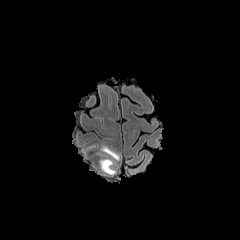
FLAIR MRI.
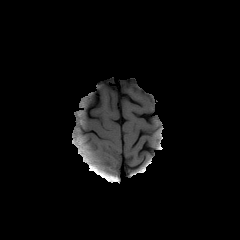
T1-weighted MR image.
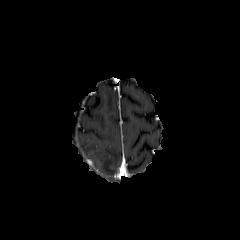
Same slice, post-contrast T1-weighted magnetic resonance.
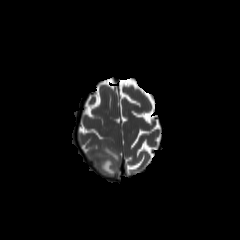
T2-weighted MR of the same slice.
Brain, Image size 240x240
peritumoral edema: <box>100,157,115,175</box>, <box>100,145,119,160</box>